Slice 88 of 155; Brain
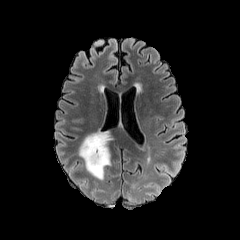
FLAIR MR image.
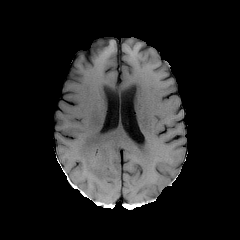
Same slice, T1-weighted MR image.
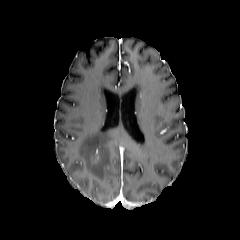
Same slice, post-contrast T1-weighted MR.
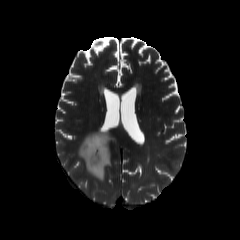
T2-weighted MRI of the same slice.
peritumoral edema at 78 130 111 180